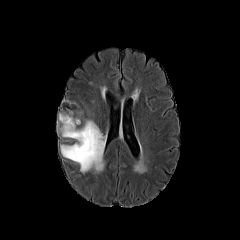
FLAIR MR image.
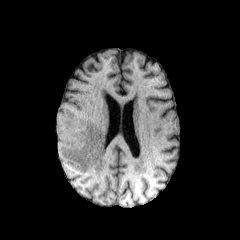
T1-weighted MRI.
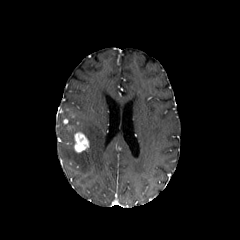
Post-contrast T1-weighted MRI.
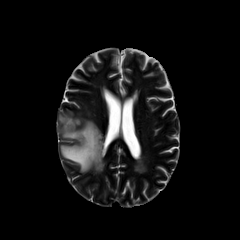
Same slice, T2-weighted MR image.
Brain
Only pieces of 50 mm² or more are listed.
The largest enhancing tumor region lies within left=74, top=132, right=89, bottom=152. The peritumoral edema is bounded by left=57, top=111, right=105, bottom=173.